Head
FLAIR MR.
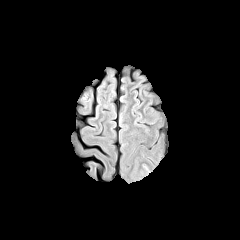
T1-weighted MR image.
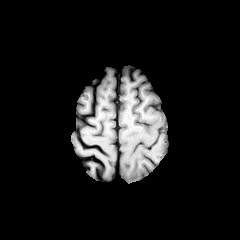
Post-contrast T1-weighted magnetic resonance.
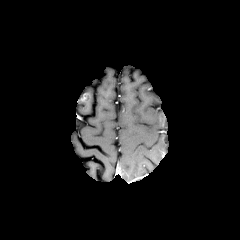
T2-weighted magnetic resonance.
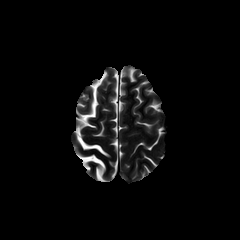
The peritumoral edema lies within (142,163,151,175).